Image size 240x240
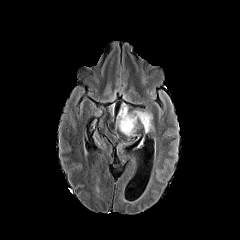
FLAIR MRI.
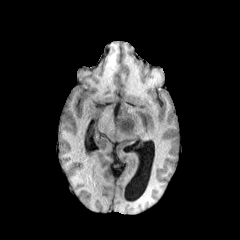
T1-weighted MR image.
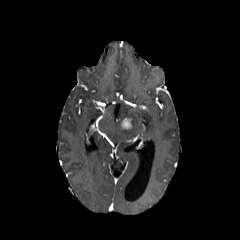
Post-contrast T1-weighted MRI of the same slice.
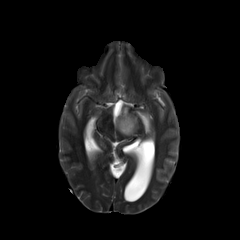
Same slice, T2-weighted MR.
peritumoral edema = [116, 104, 153, 136]
enhancing tumor = [121, 118, 132, 129]